FLAIR MR image.
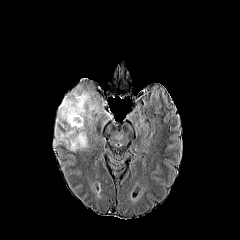
T1-weighted magnetic resonance.
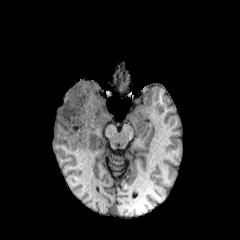
Post-contrast T1-weighted MR image.
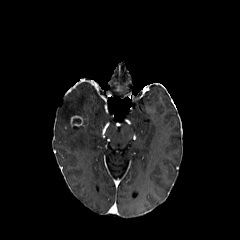
T2-weighted MRI.
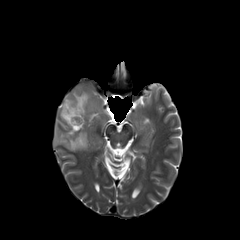
Axial slice
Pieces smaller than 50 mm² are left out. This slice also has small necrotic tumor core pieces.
• peritumoral edema: box=[53, 85, 111, 151]
• enhancing tumor: box=[70, 115, 83, 126]